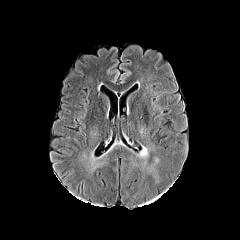
FLAIR magnetic resonance.
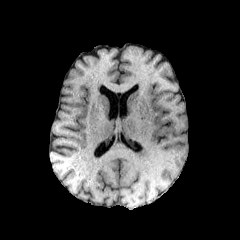
T1-weighted MR.
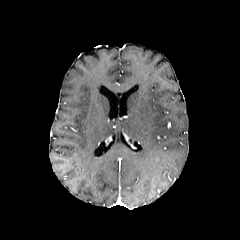
Post-contrast T1-weighted MRI of the same slice.
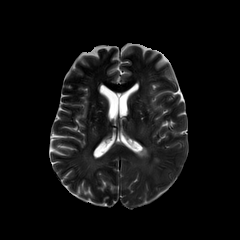
T2-weighted magnetic resonance.
Axial view.
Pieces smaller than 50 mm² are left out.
peritumoral edema at 137,146,148,158